Head; Slice 63/155; Axial view; Image size 240x240
FLAIR MR image.
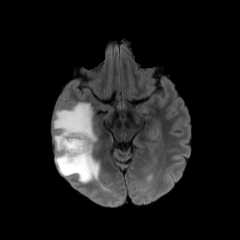
T1-weighted MR.
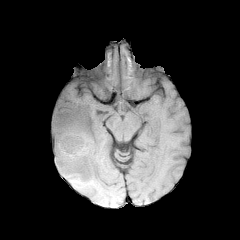
Post-contrast T1-weighted magnetic resonance.
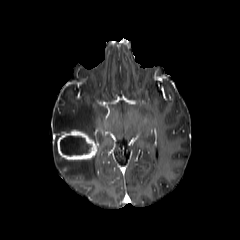
T2-weighted MRI.
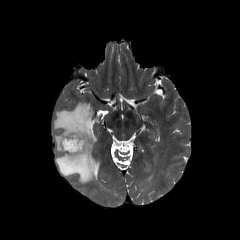
enhancing_tumor:
  - (57,129,98,160)
peritumoral_edema:
  - (53,102,99,183)
necrotic_tumor_core:
  - (60,136,90,155)